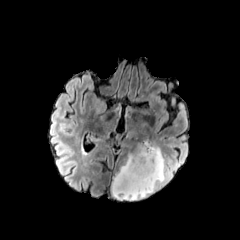
FLAIR MR image.
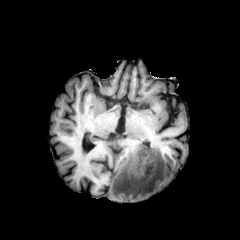
T1-weighted MR.
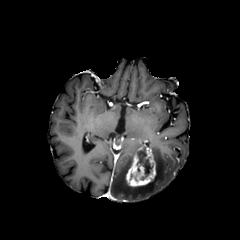
Post-contrast T1-weighted magnetic resonance.
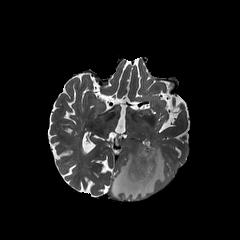
T2-weighted MR image of the same slice.
Head, Axial view
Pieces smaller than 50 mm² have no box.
{
  "necrotic_tumor_core": [
    "left=129, top=149, right=152, bottom=181"
  ],
  "enhancing_tumor": [
    "left=126, top=146, right=156, bottom=187"
  ],
  "peritumoral_edema": [
    "left=111, top=142, right=167, bottom=200"
  ]
}